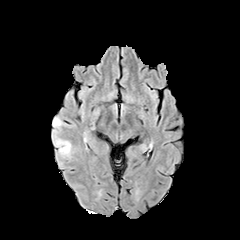
FLAIR magnetic resonance.
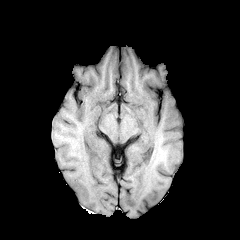
T1-weighted MR image of the same slice.
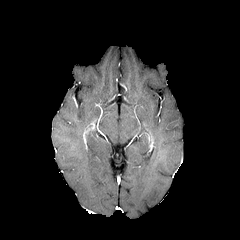
Same slice, post-contrast T1-weighted MR.
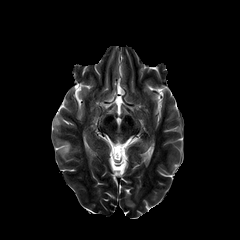
T2-weighted MR.
Head, 240x240
- peritumoral edema: bbox(55, 139, 71, 157)